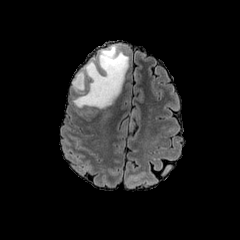
FLAIR MRI.
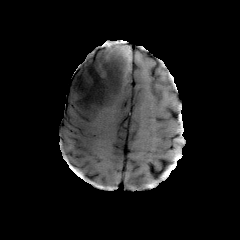
T1-weighted MR of the same slice.
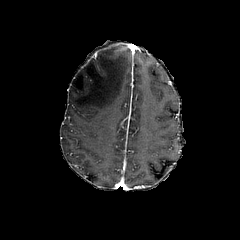
Post-contrast T1-weighted MR image.
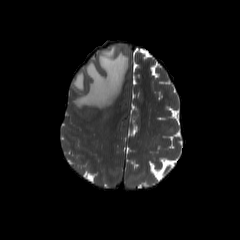
T2-weighted magnetic resonance.
Head | Axial plane
<segmentation>
  <peritumoral_edema>[72,44,128,108]</peritumoral_edema>
</segmentation>